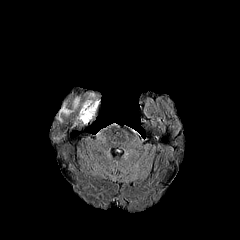
FLAIR MRI.
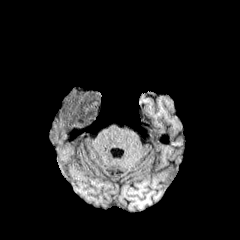
T1-weighted MR image.
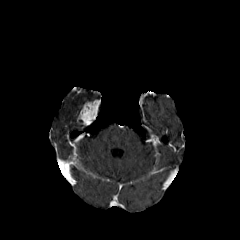
Post-contrast T1-weighted MR image of the same slice.
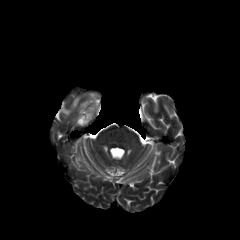
T2-weighted MR.
Head
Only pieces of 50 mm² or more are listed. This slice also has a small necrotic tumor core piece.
<segmentation>
  <peritumoral_edema>(x1=87, y1=93, x2=97, y2=100), (x1=59, y1=104, x2=73, y2=115), (x1=72, y1=97, x2=79, y2=108)</peritumoral_edema>
  <enhancing_tumor>(x1=77, y1=100, x2=99, y2=125)</enhancing_tumor>
</segmentation>